FLAIR MRI.
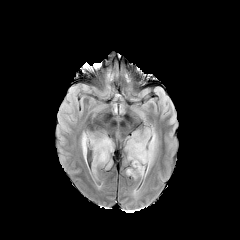
T1-weighted MR.
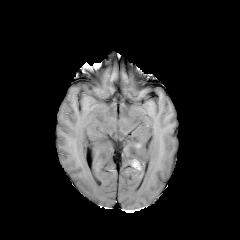
Post-contrast T1-weighted MRI.
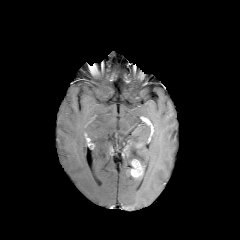
T2-weighted MRI.
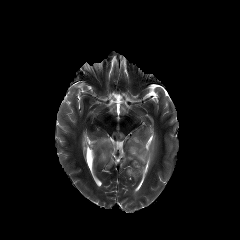
Image size 240x240
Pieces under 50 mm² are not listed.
peritumoral_edema:
  - bbox(90, 136, 113, 172)
  - bbox(126, 129, 156, 177)
  - bbox(81, 133, 86, 159)
enhancing_tumor:
  - bbox(130, 159, 143, 177)